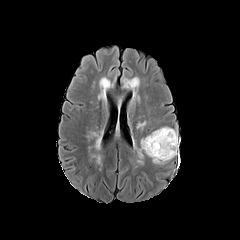
FLAIR MRI.
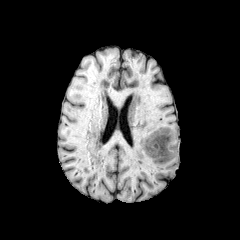
Same slice, T1-weighted MR.
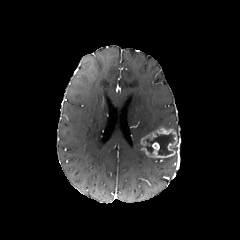
Post-contrast T1-weighted MRI of the same slice.
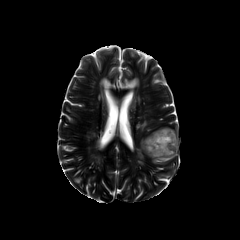
Same slice, T2-weighted MRI.
Image size 240x240. Head. Axial plane.
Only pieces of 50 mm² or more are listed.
Findings:
• peritumoral edema: bbox(137, 148, 143, 158); bbox(152, 156, 173, 163)
• necrotic tumor core: bbox(145, 133, 174, 155)
• enhancing tumor: bbox(141, 128, 180, 160)